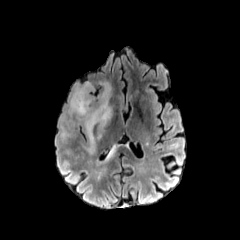
FLAIR magnetic resonance.
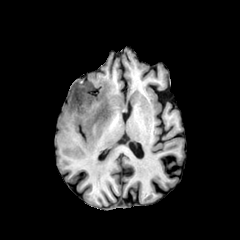
T1-weighted magnetic resonance of the same slice.
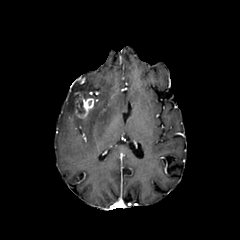
Post-contrast T1-weighted MR.
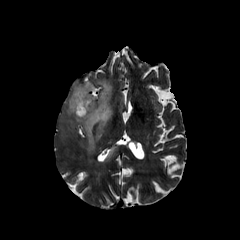
T2-weighted MR.
Brain. 240x240.
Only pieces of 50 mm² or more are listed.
• peritumoral edema: left=67, top=80, right=112, bottom=152
• necrotic tumor core: left=77, top=100, right=84, bottom=113
• enhancing tumor: left=74, top=91, right=95, bottom=118